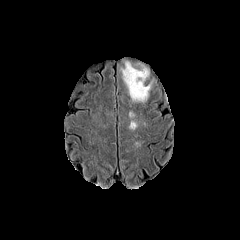
FLAIR MR image.
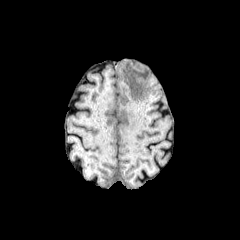
T1-weighted MR of the same slice.
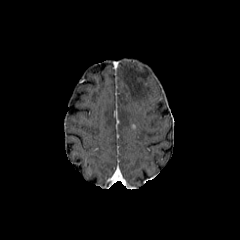
Post-contrast T1-weighted MR image of the same slice.
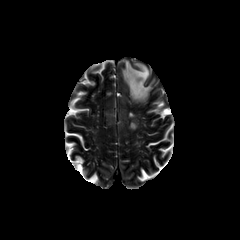
Same slice, T2-weighted MR image.
240x240 px
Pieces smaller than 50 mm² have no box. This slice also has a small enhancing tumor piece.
The largest peritumoral edema region is bounded by bbox(121, 61, 152, 102).